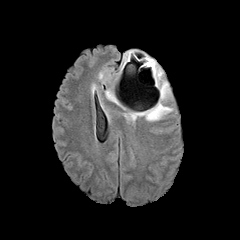
FLAIR magnetic resonance.
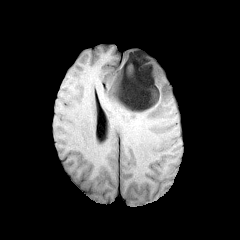
T1-weighted MR.
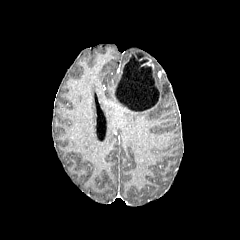
Post-contrast T1-weighted MR.
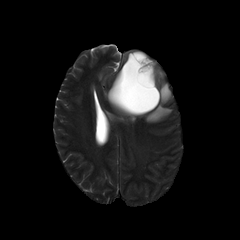
Same slice, T2-weighted MR.
Axial slice. Image size 240x240.
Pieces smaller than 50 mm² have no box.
necrotic tumor core: 117,52,159,112
enhancing tumor: 116,59,128,85
peritumoral edema: 105,60,172,121